Head | Axial plane | Slice 77/155 | Image size 240x240
FLAIR magnetic resonance.
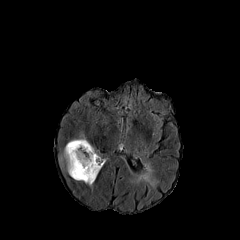
T1-weighted MRI.
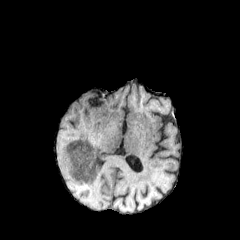
Post-contrast T1-weighted MR.
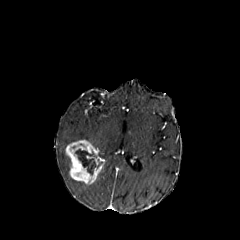
T2-weighted MRI.
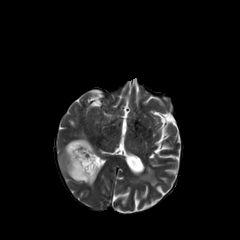
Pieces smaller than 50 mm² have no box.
enhancing_tumor:
  - x1=65 y1=140 x2=104 y2=184
peritumoral_edema:
  - x1=59 y1=148 x2=69 y2=173
  - x1=67 y1=134 x2=86 y2=144
necrotic_tumor_core:
  - x1=75 y1=149 x2=99 y2=174